Head
FLAIR MR.
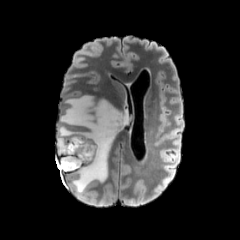
T1-weighted magnetic resonance.
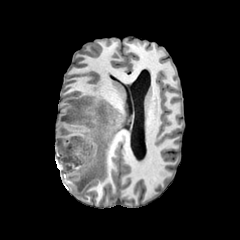
Post-contrast T1-weighted MRI.
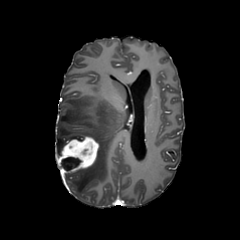
T2-weighted magnetic resonance.
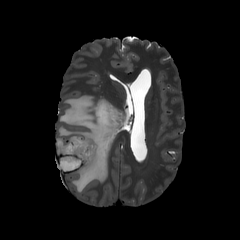
peritumoral edema = box(56, 95, 127, 198)
enhancing tumor = box(56, 136, 99, 174)
necrotic tumor core = box(60, 157, 81, 171)